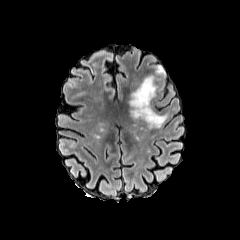
FLAIR MRI.
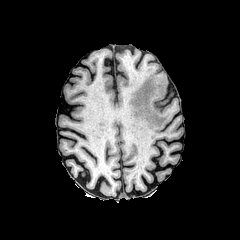
T1-weighted MR image.
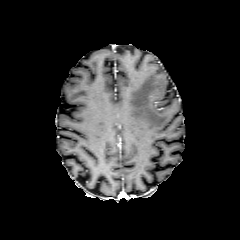
Post-contrast T1-weighted MR.
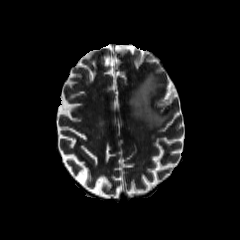
T2-weighted magnetic resonance.
240x240. Axial view.
peritumoral edema: l=129, t=66, r=167, b=128